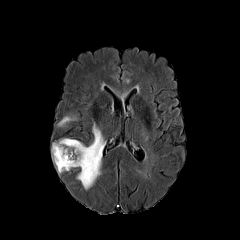
FLAIR MR image.
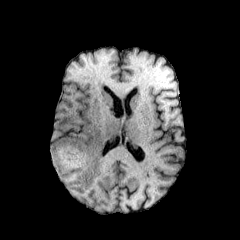
T1-weighted magnetic resonance.
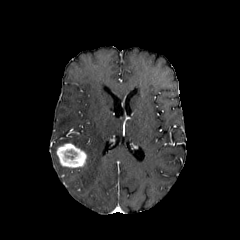
Post-contrast T1-weighted MR image of the same slice.
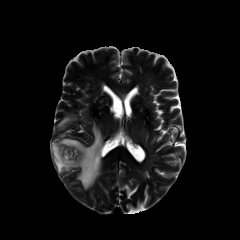
T2-weighted MRI.
Image size 240x240
{"enhancing_tumor": ["[x1=56, y1=142, x2=87, y2=167]"], "peritumoral_edema": ["[x1=58, y1=116, x2=76, y2=126]", "[x1=52, y1=122, x2=105, y2=189]"]}